Image size 240x240; Axial view
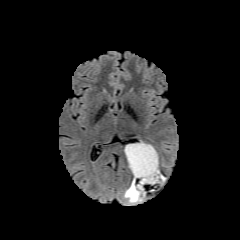
FLAIR MR.
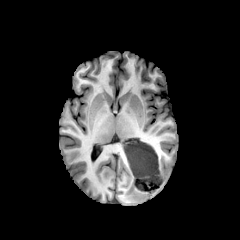
Same slice, T1-weighted MR.
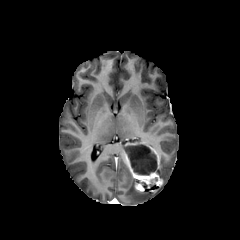
Same slice, post-contrast T1-weighted MR.
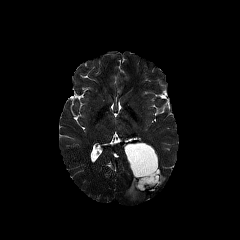
T2-weighted MR image.
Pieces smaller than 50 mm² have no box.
peritumoral edema: [x1=124, y1=178, x2=144, y2=202] | necrotic tumor core: [x1=125, y1=144, x2=157, y2=174] | enhancing tumor: [x1=125, y1=142, x2=159, y2=169], [x1=125, y1=153, x2=162, y2=191]